FLAIR MRI.
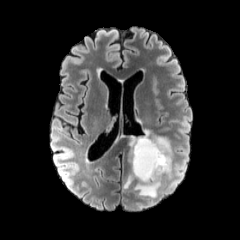
T1-weighted magnetic resonance.
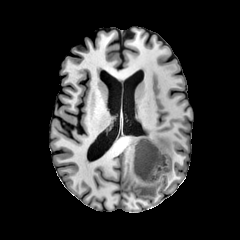
Post-contrast T1-weighted MRI.
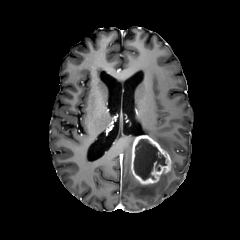
T2-weighted MRI.
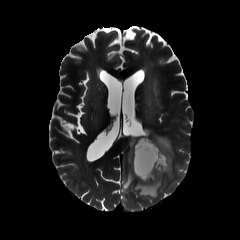
Head
The necrotic tumor core is bounded by <box>134,139,166,179</box>. The enhancing tumor is bounded by <box>131,135,171,185</box>. 4 peritumoral edema regions are bounded by <box>128,136,135,162</box>, <box>134,168,171,198</box>, <box>123,169,134,189</box>, <box>144,129,172,165</box>.